Slice 39 of 155, Axial slice
FLAIR MR.
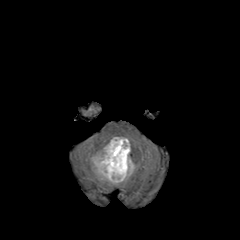
T1-weighted MR image.
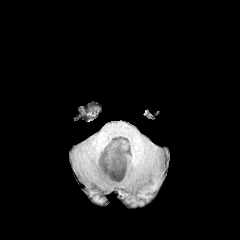
Post-contrast T1-weighted magnetic resonance.
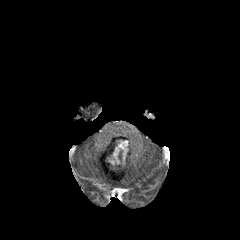
T2-weighted MR.
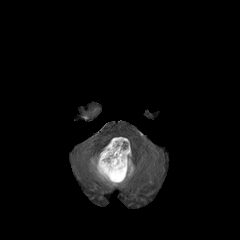
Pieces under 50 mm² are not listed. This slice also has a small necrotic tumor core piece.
The enhancing tumor is bounded by box=[103, 139, 129, 177]. The peritumoral edema appears at box=[91, 137, 135, 185].